Slice 81/155, Brain, 240x240 px
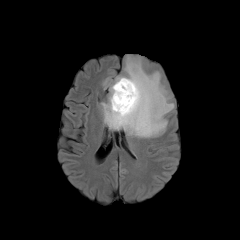
FLAIR magnetic resonance.
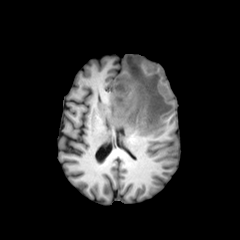
Same slice, T1-weighted MRI.
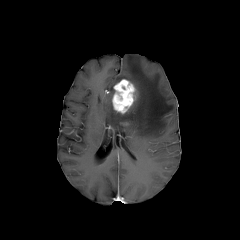
Post-contrast T1-weighted MR.
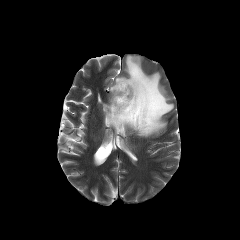
T2-weighted MR.
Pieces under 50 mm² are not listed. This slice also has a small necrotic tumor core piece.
<segmentation>
  <peritumoral_edema>(x1=102, y1=55, x2=174, y2=137)</peritumoral_edema>
  <enhancing_tumor>(x1=112, y1=79, x2=136, y2=113)</enhancing_tumor>
</segmentation>